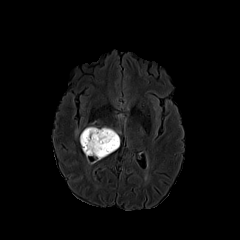
FLAIR MRI.
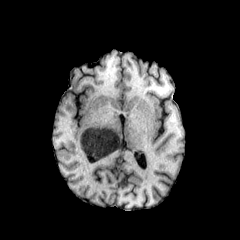
Same slice, T1-weighted MR.
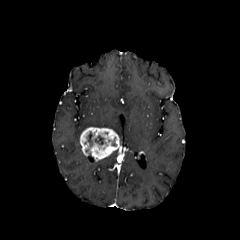
Post-contrast T1-weighted MR of the same slice.
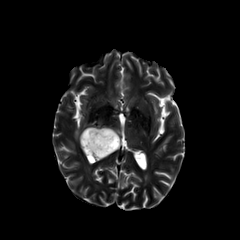
Same slice, T2-weighted magnetic resonance.
Axial view | Brain
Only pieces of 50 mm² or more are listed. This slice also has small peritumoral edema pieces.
necrotic tumor core: 88, 132, 92, 146; 95, 135, 103, 144 | enhancing tumor: 80, 127, 119, 164